FLAIR MR image.
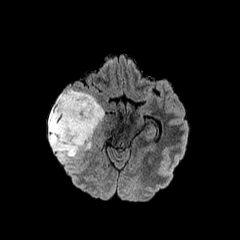
T1-weighted MR image.
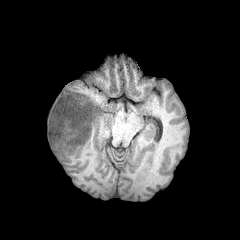
Post-contrast T1-weighted MR.
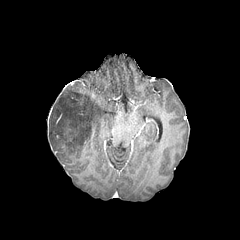
T2-weighted MR image.
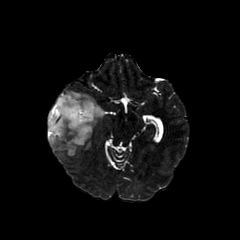
Image size 240x240.
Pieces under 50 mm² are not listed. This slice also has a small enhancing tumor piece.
peritumoral edema — <bbox>48, 89, 104, 161</bbox>